Head
FLAIR MR image.
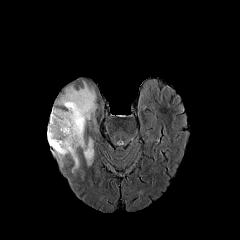
T1-weighted magnetic resonance.
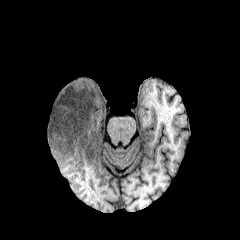
Post-contrast T1-weighted MR.
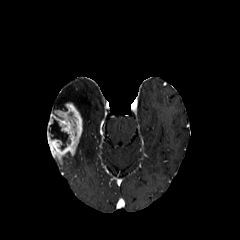
T2-weighted MRI.
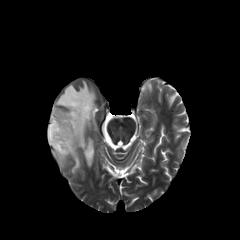
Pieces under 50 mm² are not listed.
{"enhancing_tumor": ["47 102 82 164"], "necrotic_tumor_core": ["48 119 68 149"], "peritumoral_edema": ["71 149 79 172", "55 81 96 165"]}